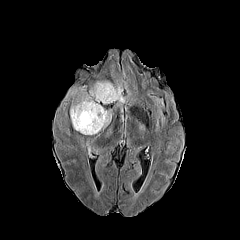
FLAIR MR.
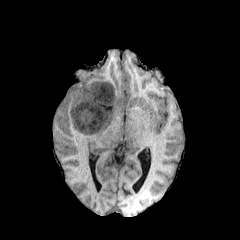
T1-weighted MRI.
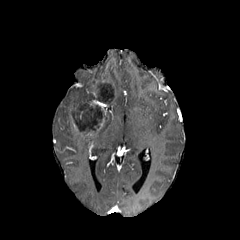
Same slice, post-contrast T1-weighted MR image.
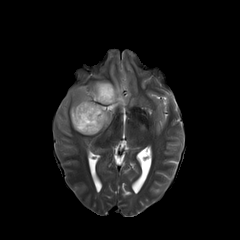
T2-weighted magnetic resonance of the same slice.
Head. 240x240.
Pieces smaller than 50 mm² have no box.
Annotated regions:
• necrotic tumor core: rect(72, 84, 120, 133)
• peritumoral edema: rect(66, 88, 77, 100); rect(95, 82, 124, 105); rect(102, 111, 111, 128); rect(70, 87, 93, 124)
• enhancing tumor: rect(90, 100, 107, 131)